Axial slice, Brain, Image covers 240 mm x 240 mm
FLAIR MR.
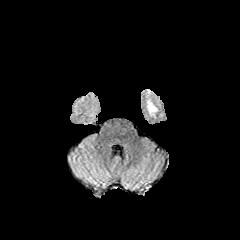
T1-weighted MR image.
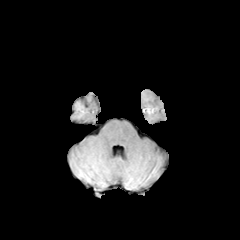
Post-contrast T1-weighted MRI.
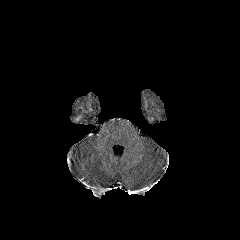
T2-weighted magnetic resonance.
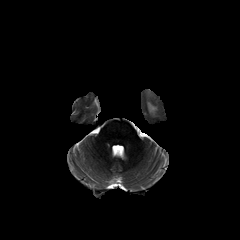
{"peritumoral_edema": ["l=146, t=89, r=160, b=117"]}